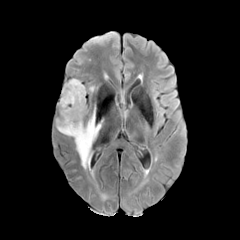
FLAIR MR.
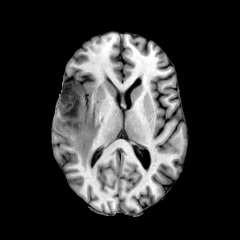
T1-weighted MR.
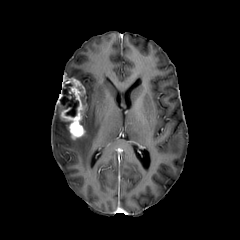
Post-contrast T1-weighted MR image.
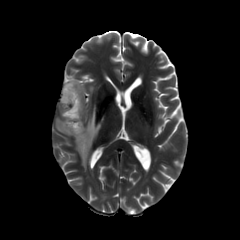
T2-weighted magnetic resonance of the same slice.
240x240 | Head
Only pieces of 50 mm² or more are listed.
enhancing tumor: (61, 78, 85, 138) | peritumoral edema: (75, 107, 103, 169), (56, 118, 70, 136) | necrotic tumor core: (58, 83, 78, 116)